Brain; Slice 118/155
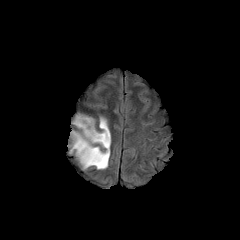
FLAIR MR image.
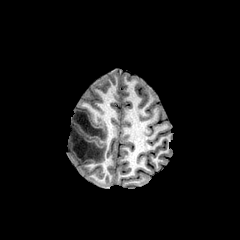
Same slice, T1-weighted MRI.
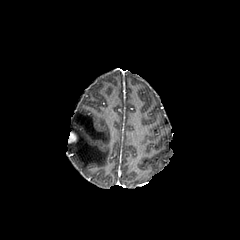
Post-contrast T1-weighted MRI.
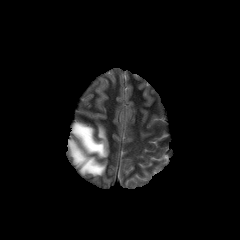
T2-weighted MR image.
- enhancing tumor: [69,132,76,142]
- peritumoral edema: [68,115,110,171]